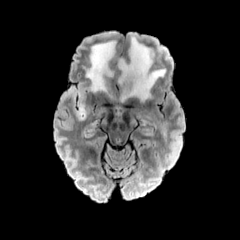
FLAIR MR image.
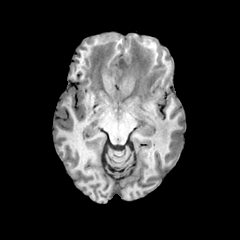
T1-weighted MRI of the same slice.
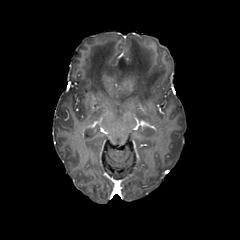
Post-contrast T1-weighted MR image.
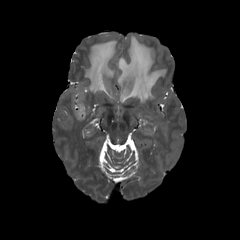
Same slice, T2-weighted magnetic resonance.
Axial slice
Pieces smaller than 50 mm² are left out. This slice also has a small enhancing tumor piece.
Segmented structures:
* peritumoral edema: (84, 40, 115, 97), (118, 35, 165, 102), (62, 85, 86, 121)